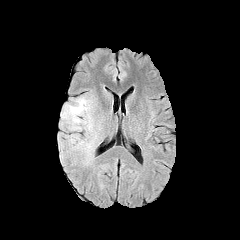
FLAIR MR image.
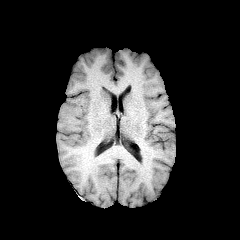
Same slice, T1-weighted MRI.
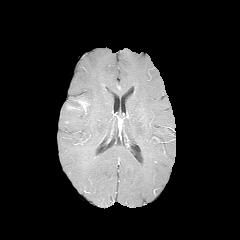
Post-contrast T1-weighted MR.
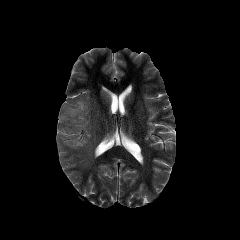
T2-weighted MRI of the same slice.
240x240 px
peritumoral edema: bounding box l=67, t=135, r=95, b=164; l=61, t=96, r=93, b=136